Brain; 240x240; Slice 85/155; Axial plane
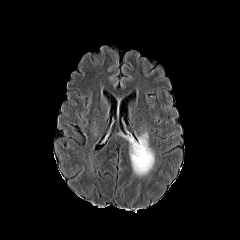
FLAIR MR image.
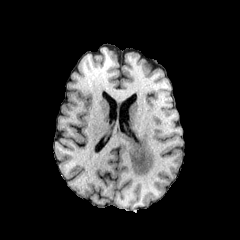
T1-weighted MR image.
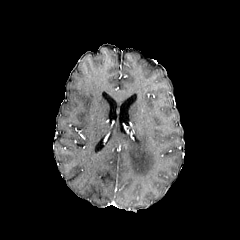
Post-contrast T1-weighted magnetic resonance.
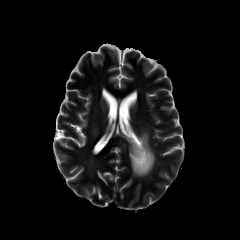
T2-weighted MRI.
peritumoral edema: 125:132:154:175